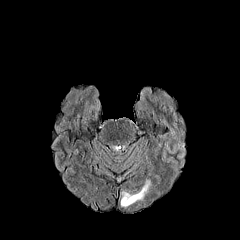
FLAIR MR.
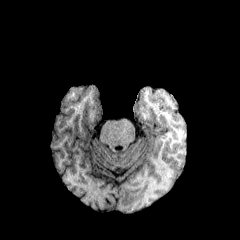
T1-weighted magnetic resonance.
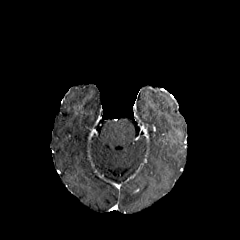
Same slice, post-contrast T1-weighted MRI.
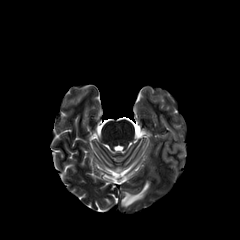
T2-weighted magnetic resonance.
Axial slice
peritumoral edema: <box>120,180,150,207</box>